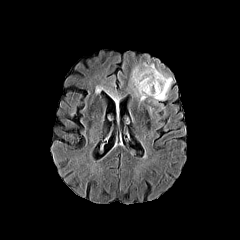
FLAIR MRI.
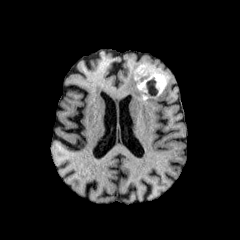
T1-weighted MR image.
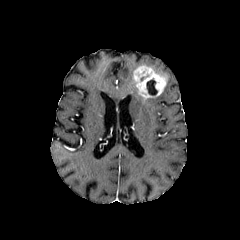
Post-contrast T1-weighted MR image.
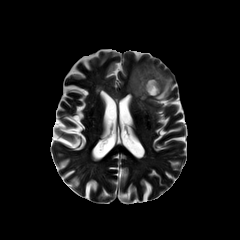
Same slice, T2-weighted MRI.
Head | 240x240
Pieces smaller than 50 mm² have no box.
The enhancing tumor lies within box=[132, 65, 167, 98]. The 2 largest peritumoral edema regions are located at box=[143, 63, 172, 103]; box=[130, 66, 144, 101]. The largest necrotic tumor core region is at box=[146, 78, 157, 95].